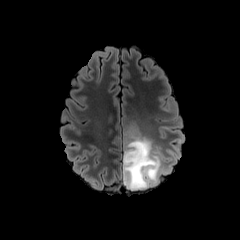
FLAIR MRI.
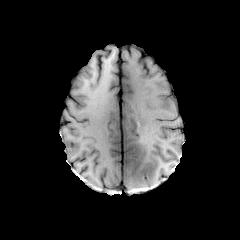
T1-weighted MR.
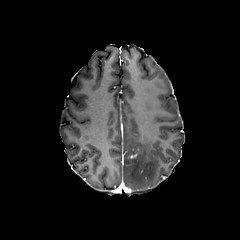
Same slice, post-contrast T1-weighted MRI.
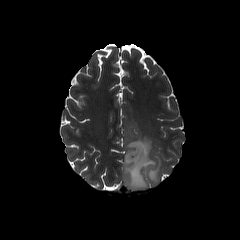
T2-weighted MR image.
Head, 240x240, Axial plane
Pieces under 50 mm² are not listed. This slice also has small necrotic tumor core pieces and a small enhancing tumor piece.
The peritumoral edema appears at box(122, 133, 167, 189).